Axial plane. 240x240.
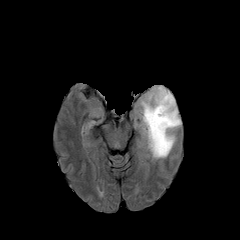
FLAIR MR.
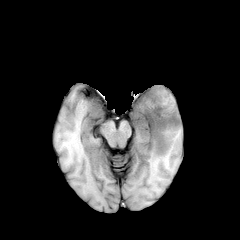
T1-weighted MR image.
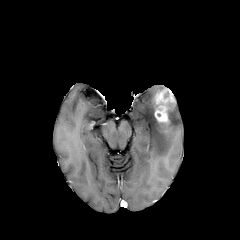
Post-contrast T1-weighted magnetic resonance.
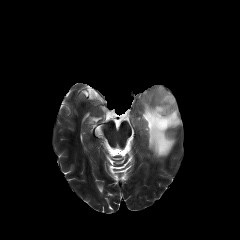
T2-weighted MR image of the same slice.
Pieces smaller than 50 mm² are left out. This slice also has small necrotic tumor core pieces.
<segmentation>
  <enhancing_tumor>(153, 88, 175, 130)</enhancing_tumor>
  <peritumoral_edema>(139, 85, 181, 158)</peritumoral_edema>
</segmentation>